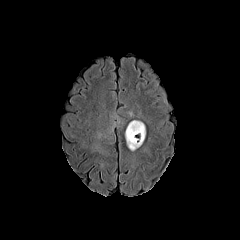
FLAIR MR image.
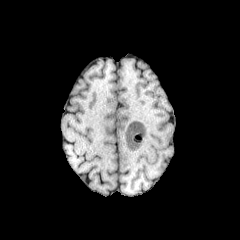
Same slice, T1-weighted MR.
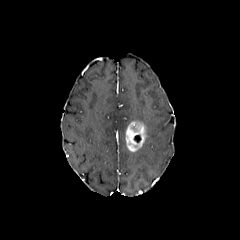
Post-contrast T1-weighted magnetic resonance.
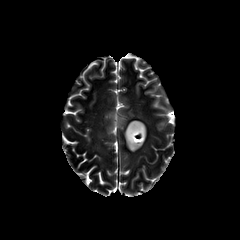
T2-weighted MRI.
240x240.
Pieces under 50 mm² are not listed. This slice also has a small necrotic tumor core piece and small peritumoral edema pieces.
The enhancing tumor appears at x1=125 y1=121 x2=146 y2=151.